Axial view; 240x240 px; Head
FLAIR MRI.
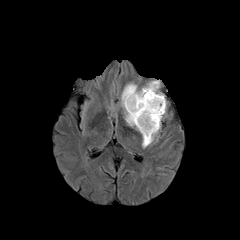
T1-weighted MR.
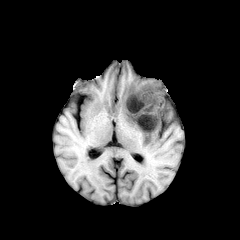
Post-contrast T1-weighted MR image.
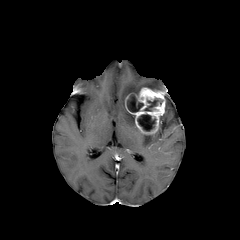
T2-weighted MRI.
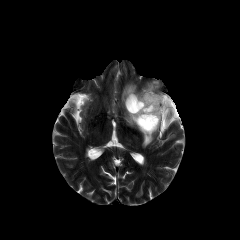
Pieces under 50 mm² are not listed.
<segmentation>
  <enhancing_tumor>x1=125, y1=87, x2=165, y2=134</enhancing_tumor>
  <peritumoral_edema>x1=121, y1=83, x2=139, y2=129; x1=142, y1=130, x2=158, y2=147; x1=145, y1=80, x2=160, y2=89</peritumoral_edema>
  <necrotic_tumor_core>x1=127, y1=95, x2=143, y2=112; x1=144, y1=99, x2=158, y2=111; x1=137, y1=114, x2=155, y2=131</necrotic_tumor_core>
</segmentation>